Slice 55/155
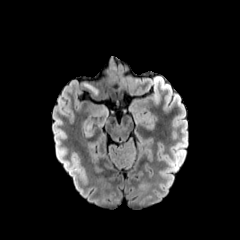
FLAIR MR.
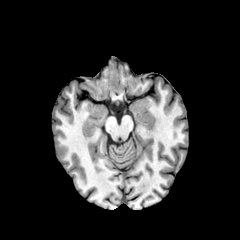
T1-weighted MRI.
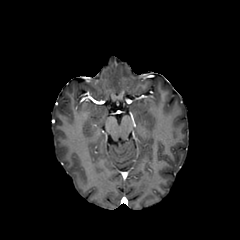
Same slice, post-contrast T1-weighted MR.
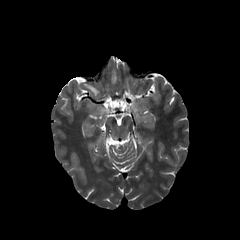
Same slice, T2-weighted magnetic resonance.
Annotated regions:
- peritumoral edema: box(84, 84, 98, 94)